Head | Slice 74/155
FLAIR MRI.
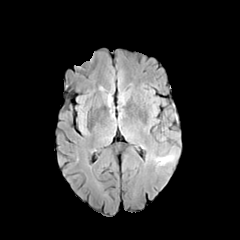
T1-weighted MRI.
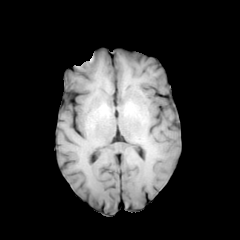
Post-contrast T1-weighted MRI.
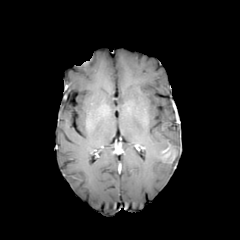
T2-weighted MR.
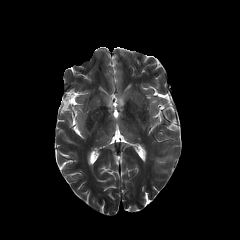
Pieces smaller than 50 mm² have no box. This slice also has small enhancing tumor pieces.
- peritumoral edema: box=[154, 156, 171, 164]